Slice 53/155 | Image width 240 mm | Head | 240x240
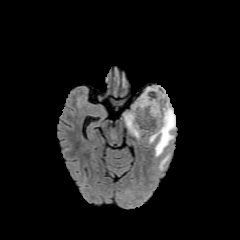
FLAIR MRI.
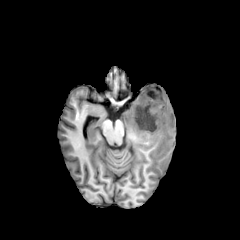
T1-weighted magnetic resonance.
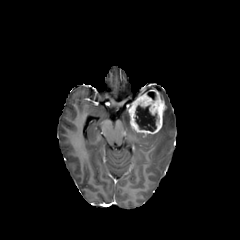
Post-contrast T1-weighted MRI.
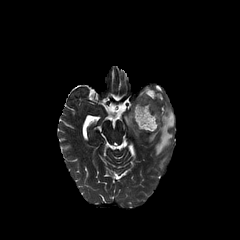
T2-weighted magnetic resonance.
<segmentation>
  <peritumoral_edema>bbox(124, 110, 141, 138); bbox(159, 155, 168, 169); bbox(140, 86, 175, 156)</peritumoral_edema>
  <enhancing_tumor>bbox(129, 89, 166, 134)</enhancing_tumor>
  <necrotic_tumor_core>bbox(135, 105, 156, 131); bbox(147, 92, 155, 99)</necrotic_tumor_core>
</segmentation>